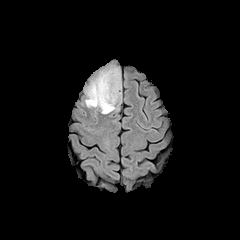
FLAIR magnetic resonance.
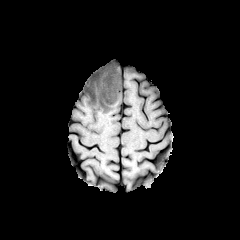
Same slice, T1-weighted MR image.
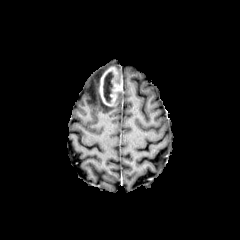
Post-contrast T1-weighted MRI.
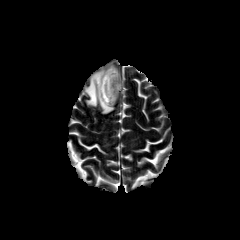
T2-weighted MR image of the same slice.
Head; 240x240
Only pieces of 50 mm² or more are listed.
necrotic_tumor_core:
  - (103, 72, 114, 102)
enhancing_tumor:
  - (98, 67, 122, 105)
peritumoral_edema:
  - (84, 65, 121, 113)